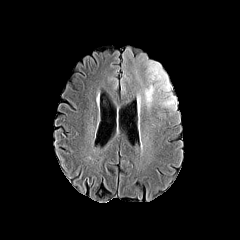
FLAIR MR.
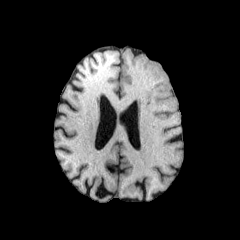
T1-weighted MRI.
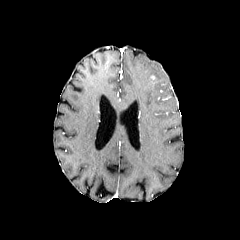
Post-contrast T1-weighted MR of the same slice.
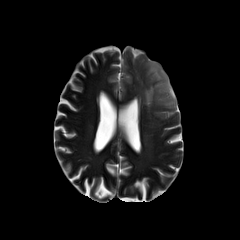
T2-weighted MRI of the same slice.
Head; Image size 240x240
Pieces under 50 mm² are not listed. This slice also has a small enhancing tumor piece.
peritumoral edema: x1=143, y1=60, x2=176, y2=109